Axial view
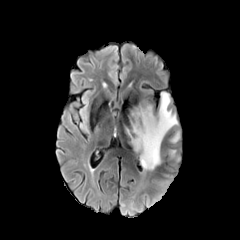
FLAIR MR image.
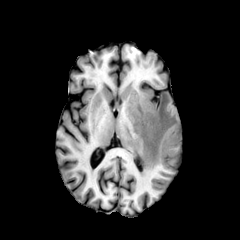
T1-weighted MR image of the same slice.
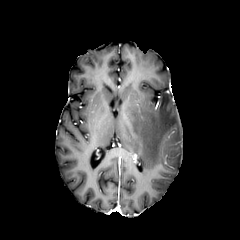
Post-contrast T1-weighted MRI.
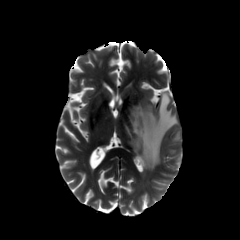
T2-weighted MRI.
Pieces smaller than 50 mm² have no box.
Annotated regions:
• peritumoral edema: [171, 131, 179, 142], [126, 92, 177, 170]